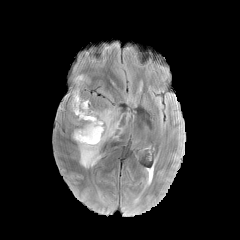
FLAIR MRI.
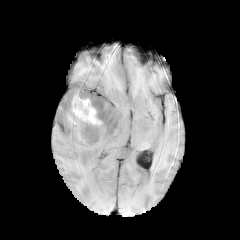
T1-weighted MRI.
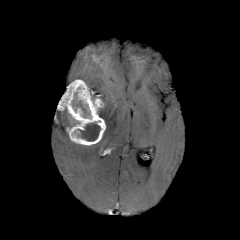
Post-contrast T1-weighted MRI.
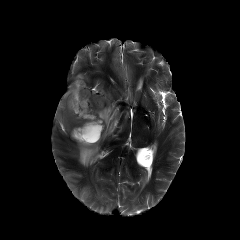
T2-weighted MR image.
Head | Axial plane
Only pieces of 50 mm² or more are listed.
{"peritumoral_edema": ["[x1=78, y1=107, x2=121, y2=167]"], "enhancing_tumor": ["[x1=58, y1=79, x2=105, y2=145]"], "necrotic_tumor_core": ["[x1=71, y1=93, x2=90, y2=117]", "[x1=78, y1=122, x2=100, y2=141]"]}